FLAIR MRI.
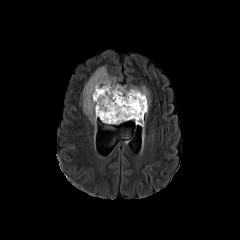
T1-weighted MR.
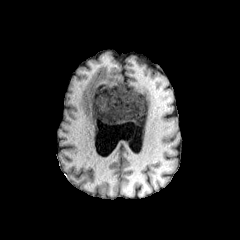
Post-contrast T1-weighted MR image.
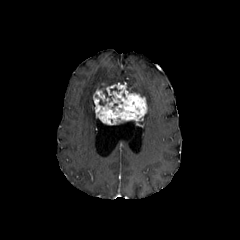
T2-weighted MR.
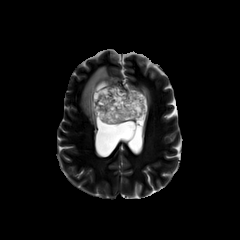
240x240. Axial view.
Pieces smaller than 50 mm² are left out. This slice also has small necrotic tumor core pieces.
peritumoral edema: 82:66:117:125, 129:86:150:108 | enhancing tumor: 93:83:147:125